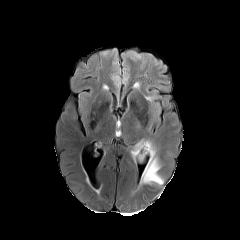
FLAIR MR.
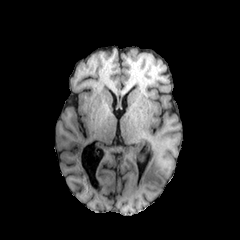
T1-weighted magnetic resonance.
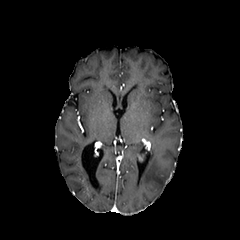
Post-contrast T1-weighted MRI.
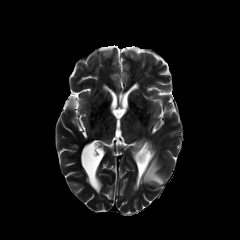
Same slice, T2-weighted magnetic resonance.
Brain
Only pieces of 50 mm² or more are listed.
{"peritumoral_edema": ["x1=141 y1=156 x2=163 y2=185", "x1=131 y1=142 x2=143 y2=157"]}